Slice 112/155 | Axial slice | Brain
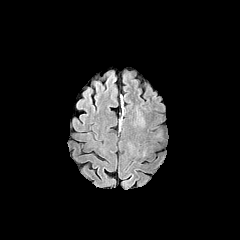
FLAIR MR.
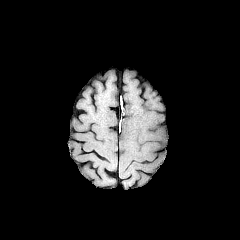
T1-weighted MRI.
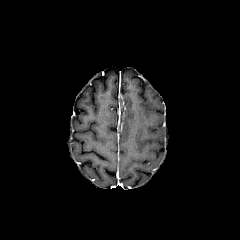
Post-contrast T1-weighted MR image.
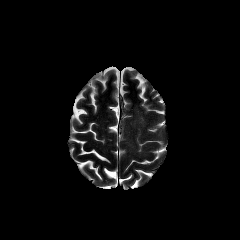
T2-weighted magnetic resonance.
peritumoral edema at [137,111,143,125]